FLAIR MR.
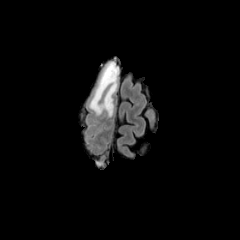
T1-weighted MR image.
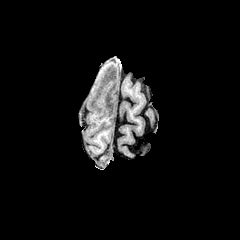
Post-contrast T1-weighted magnetic resonance.
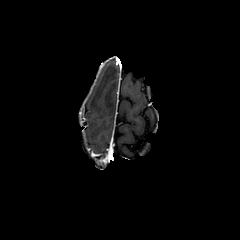
T2-weighted MR.
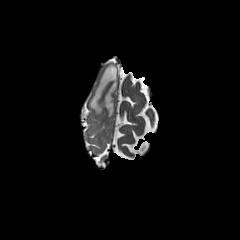
Axial slice, Brain
The peritumoral edema is located at x1=89 y1=61 x2=118 y2=116.